Slice 62/155. Brain.
FLAIR magnetic resonance.
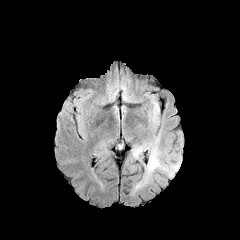
T1-weighted MR image.
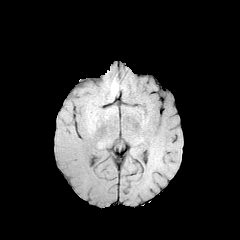
Post-contrast T1-weighted MRI.
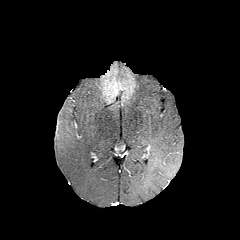
T2-weighted magnetic resonance.
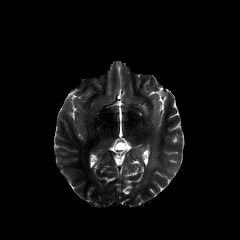
peritumoral edema — [x1=132, y1=91, x2=182, y2=187]